Slice 49 of 155. Head.
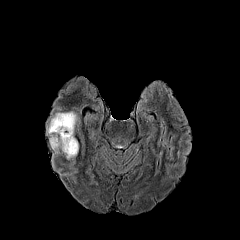
FLAIR MRI.
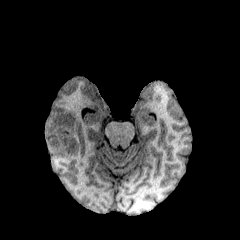
Same slice, T1-weighted MR image.
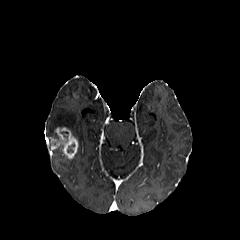
Post-contrast T1-weighted MR.
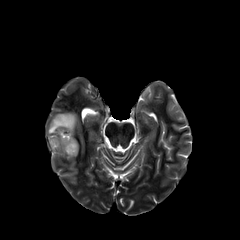
T2-weighted MRI of the same slice.
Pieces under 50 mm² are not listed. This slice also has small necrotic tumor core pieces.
enhancing tumor: <bbox>50, 127, 78, 159</bbox> | peritumoral edema: <bbox>47, 111, 77, 136</bbox>